Image size 240x240. Slice 52 of 155.
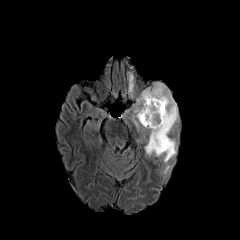
FLAIR MR.
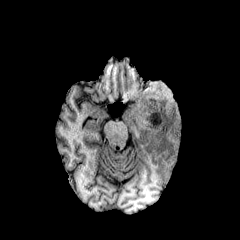
T1-weighted magnetic resonance.
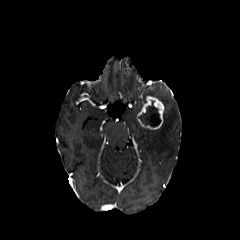
Post-contrast T1-weighted MR.
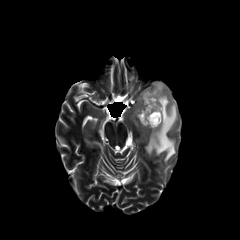
Same slice, T2-weighted MRI.
The enhancing tumor is bounded by 137,95,164,129. The necrotic tumor core appears at 138,101,161,127. 2 peritumoral edema regions are bounded by 128,74,133,96; 133,82,178,173.